Image width 240 mm, 240x240, Axial view
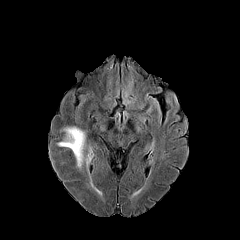
FLAIR MRI.
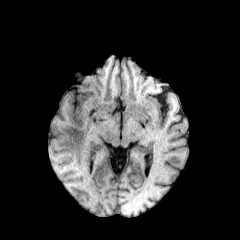
T1-weighted MR.
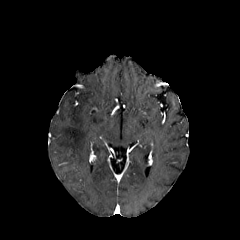
Same slice, post-contrast T1-weighted MRI.
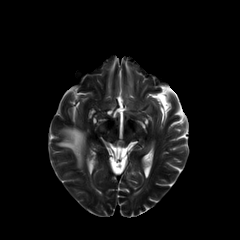
T2-weighted MR.
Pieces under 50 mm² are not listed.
peritumoral edema — (58, 127, 85, 167)